Slice index 55 | Axial view
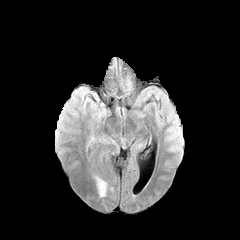
FLAIR MR.
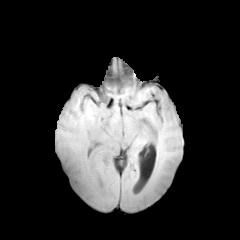
T1-weighted MR.
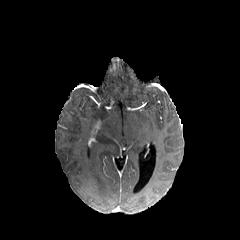
Post-contrast T1-weighted MR of the same slice.
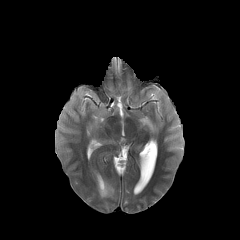
T2-weighted MR image.
{"peritumoral_edema": ["(96, 177, 107, 196)"]}